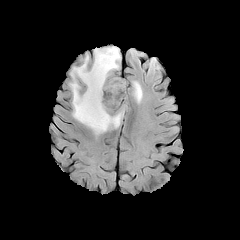
FLAIR MRI.
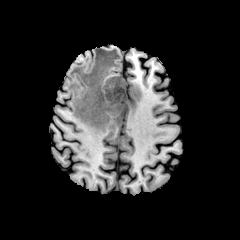
T1-weighted magnetic resonance.
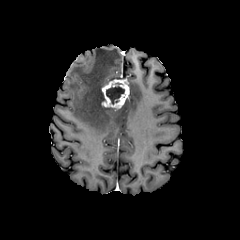
Same slice, post-contrast T1-weighted MR.
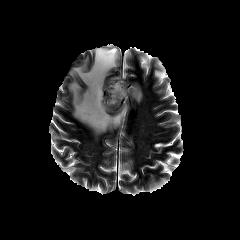
Same slice, T2-weighted MR image.
Image size 240x240. Head. Axial slice.
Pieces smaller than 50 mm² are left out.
peritumoral_edema:
  - x1=69 y1=46 x2=127 y2=134
  - x1=130 y1=81 x2=142 y2=103
enhancing_tumor:
  - x1=101 y1=79 x2=129 y2=108
necrotic_tumor_core:
  - x1=106 y1=86 x2=124 y2=104